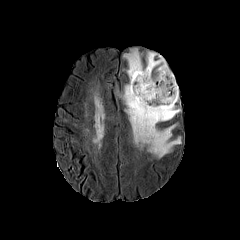
FLAIR MR image.
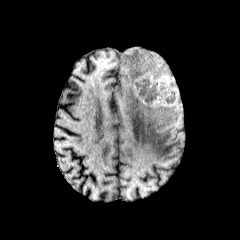
Same slice, T1-weighted MR.
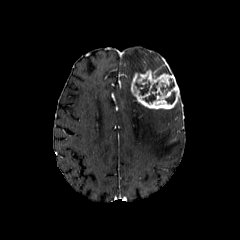
Post-contrast T1-weighted MR image.
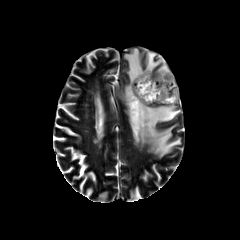
T2-weighted MR image of the same slice.
Head, Image size 240x240
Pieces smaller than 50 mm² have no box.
enhancing tumor: rect(130, 69, 179, 109) | necrotic tumor core: rect(135, 82, 150, 95); rect(165, 92, 175, 103); rect(144, 82, 157, 102); rect(161, 79, 174, 91) | peritumoral edema: rect(121, 48, 181, 158)